Brain; 240x240 px
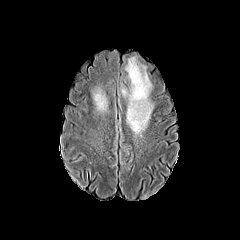
FLAIR MR image.
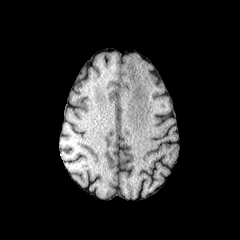
T1-weighted magnetic resonance.
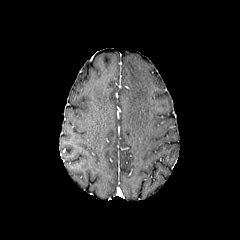
Post-contrast T1-weighted MRI of the same slice.
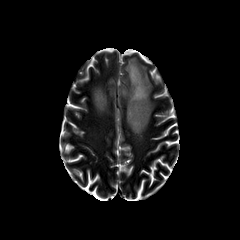
T2-weighted MR image of the same slice.
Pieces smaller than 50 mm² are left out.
Findings:
* peritumoral edema: left=93, top=89, right=106, bottom=110; left=125, top=58, right=152, bottom=135